Head, Slice 114/155
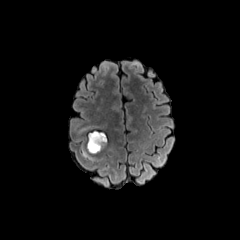
FLAIR MRI.
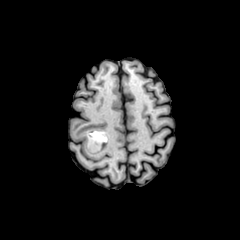
T1-weighted magnetic resonance.
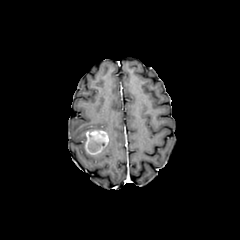
Post-contrast T1-weighted magnetic resonance.
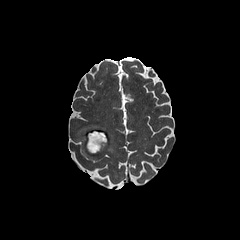
T2-weighted MR.
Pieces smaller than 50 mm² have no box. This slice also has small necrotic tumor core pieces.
enhancing tumor — box=[85, 130, 107, 154]
peritumoral edema — box=[82, 149, 92, 159]